Brain. Axial slice.
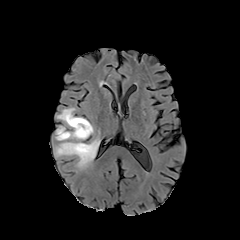
FLAIR magnetic resonance.
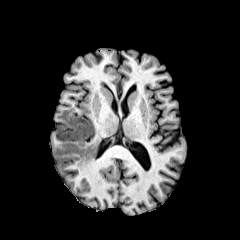
Same slice, T1-weighted MR.
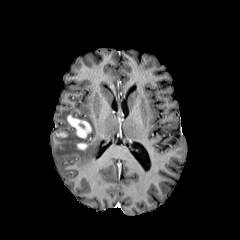
Post-contrast T1-weighted MRI of the same slice.
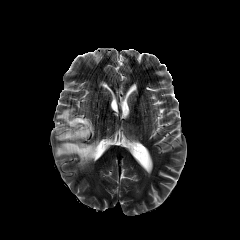
T2-weighted MR.
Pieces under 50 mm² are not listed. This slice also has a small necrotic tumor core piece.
3 enhancing tumor regions appear at 77,143,87,150; 57,132,67,137; 67,115,91,138. 2 peritumoral edema regions are located at 74,117,94,137; 54,107,100,169.